FLAIR MR image.
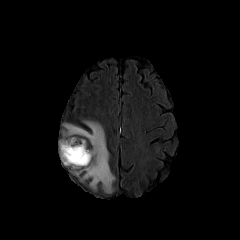
T1-weighted MR.
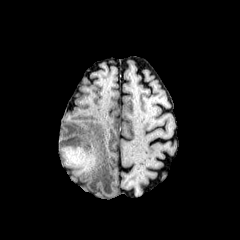
Post-contrast T1-weighted MR image.
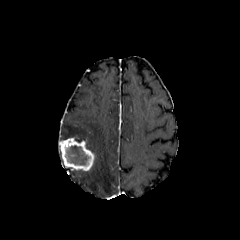
T2-weighted MR image.
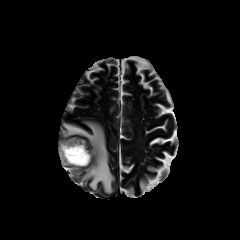
Axial plane
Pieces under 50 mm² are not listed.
peritumoral edema: bbox=[72, 170, 84, 176]; bbox=[62, 120, 115, 193] | necrotic tumor core: bbox=[67, 146, 87, 164] | enhancing tumor: bbox=[58, 137, 95, 171]